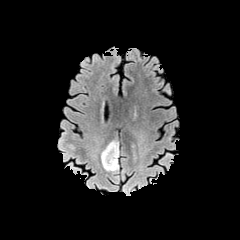
FLAIR MRI.
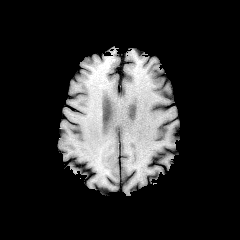
T1-weighted MR.
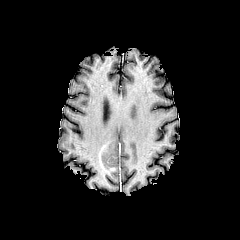
Same slice, post-contrast T1-weighted MR.
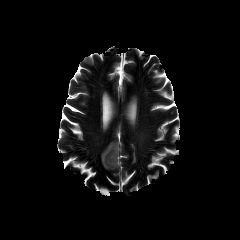
T2-weighted MR image.
Head, 240x240, Axial view
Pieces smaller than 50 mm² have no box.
enhancing tumor: 99, 139, 115, 175
peritumoral edema: 101, 141, 119, 174